240x240. Axial plane.
FLAIR MR image.
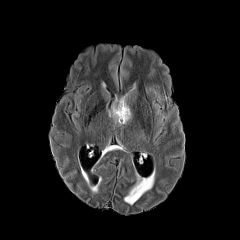
T1-weighted magnetic resonance.
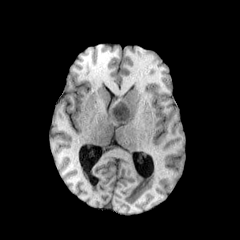
Post-contrast T1-weighted MR.
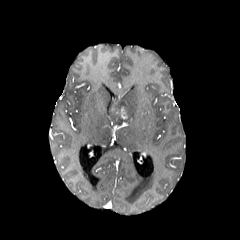
T2-weighted magnetic resonance.
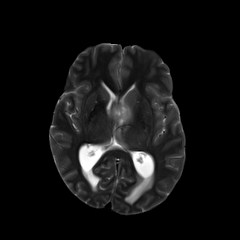
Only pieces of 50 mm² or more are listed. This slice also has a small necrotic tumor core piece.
enhancing_tumor:
  - 115,107,127,119
peritumoral_edema:
  - 109,95,131,123